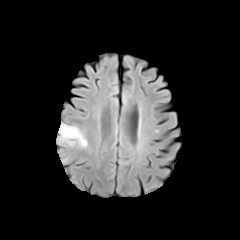
FLAIR MR.
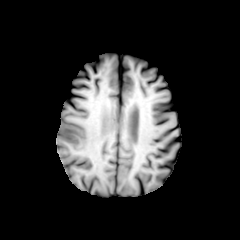
T1-weighted MRI of the same slice.
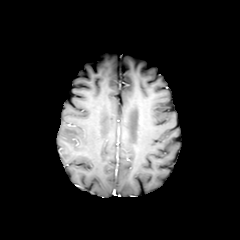
Post-contrast T1-weighted MR image.
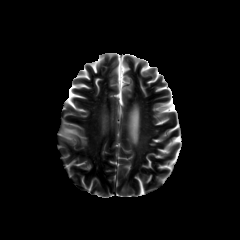
T2-weighted magnetic resonance of the same slice.
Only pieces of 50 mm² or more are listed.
The largest peritumoral edema region is at bbox=[58, 123, 87, 147].